FLAIR magnetic resonance.
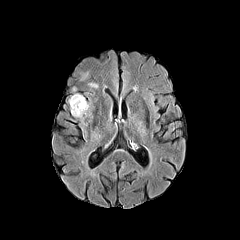
T1-weighted magnetic resonance.
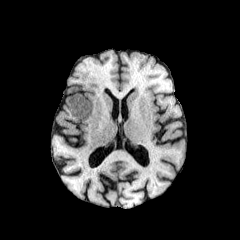
Post-contrast T1-weighted MRI.
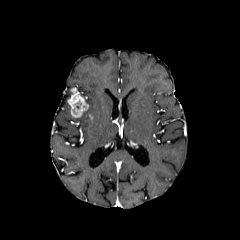
T2-weighted magnetic resonance.
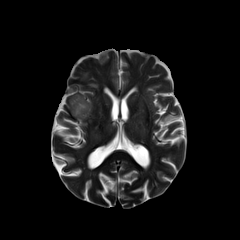
Axial plane, Head
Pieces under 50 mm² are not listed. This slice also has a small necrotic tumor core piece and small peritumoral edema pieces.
The largest enhancing tumor region appears at bbox(68, 87, 88, 117).